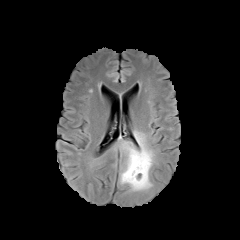
FLAIR MRI.
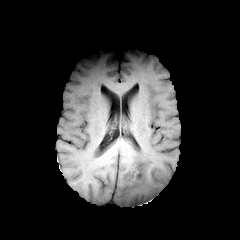
T1-weighted MRI of the same slice.
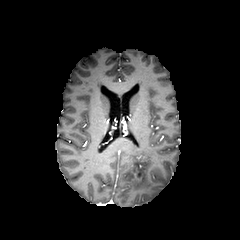
Post-contrast T1-weighted MR.
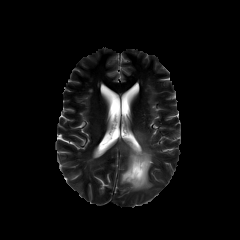
T2-weighted MRI.
240x240; Brain; Axial view
peritumoral edema: x1=120 y1=131 x2=154 y2=191 | enhancing tumor: x1=132 y1=165 x2=143 y2=180